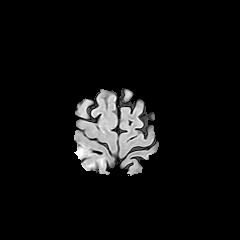
FLAIR MR.
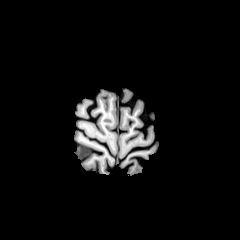
T1-weighted MR.
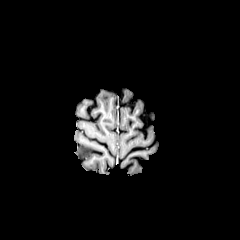
Post-contrast T1-weighted MR.
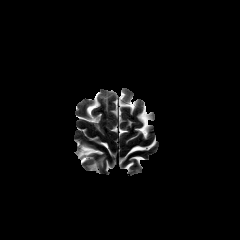
T2-weighted MR.
Brain. Axial slice.
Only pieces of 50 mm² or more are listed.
peritumoral edema = bbox(76, 149, 89, 157)